FLAIR MR image.
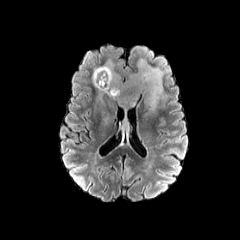
T1-weighted magnetic resonance.
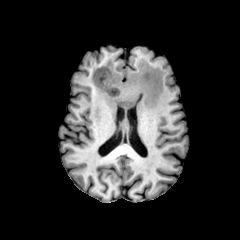
Post-contrast T1-weighted magnetic resonance.
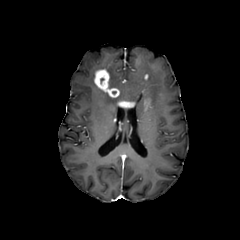
T2-weighted MR.
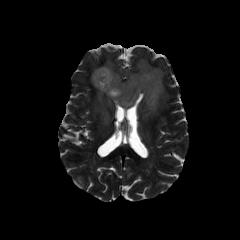
240x240 | Axial slice | Head
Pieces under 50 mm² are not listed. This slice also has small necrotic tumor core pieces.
enhancing_tumor:
  - <box>94,69,119,97</box>
  - <box>144,99,150,108</box>
  - <box>118,101,134,107</box>
peritumoral_edema:
  - <box>92,59,167,111</box>
  - <box>101,111,109,126</box>